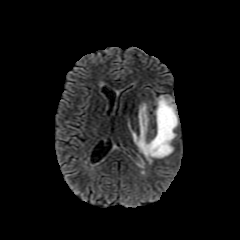
FLAIR MR.
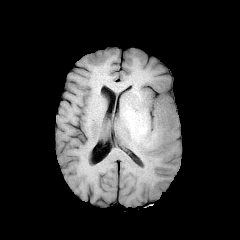
T1-weighted MR image.
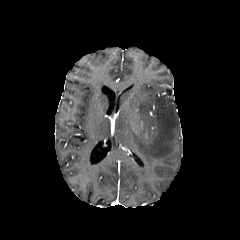
Post-contrast T1-weighted MR.
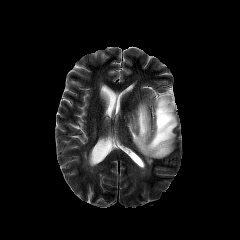
T2-weighted magnetic resonance.
240x240, Brain, Axial view
peritumoral edema: [x1=128, y1=95, x2=178, y2=164]